Head, Image size 240x240, Slice 123 of 155, Axial plane
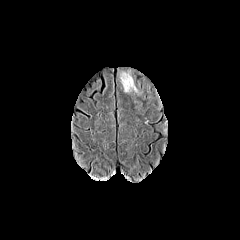
FLAIR MR image.
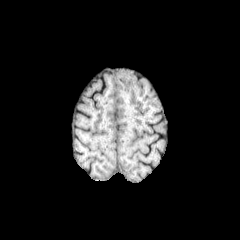
T1-weighted magnetic resonance.
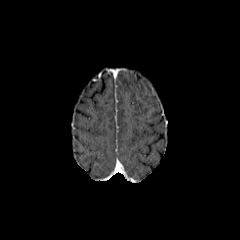
Same slice, post-contrast T1-weighted MR image.
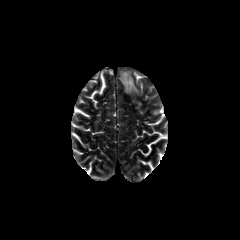
T2-weighted MRI.
Annotated regions:
• peritumoral edema: 120:72:137:92